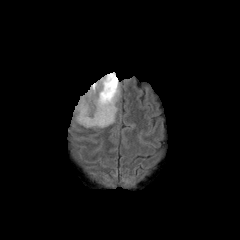
FLAIR magnetic resonance.
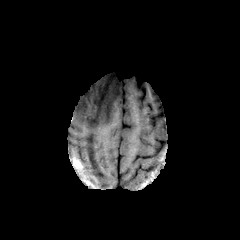
T1-weighted MRI of the same slice.
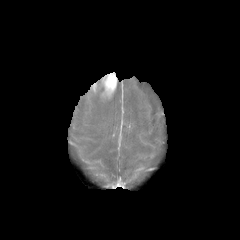
Post-contrast T1-weighted magnetic resonance.
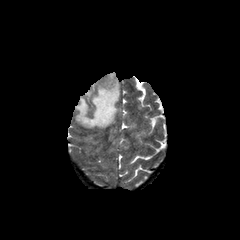
T2-weighted MR.
Brain.
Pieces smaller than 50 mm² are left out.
Annotated regions:
- enhancing tumor: box=[101, 73, 117, 98]
- peritumoral edema: box=[75, 78, 119, 128]